Slice 109/155, Brain, 240x240, Image width 240 mm, 1.00 mm slice spacing
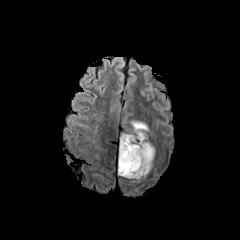
FLAIR MRI.
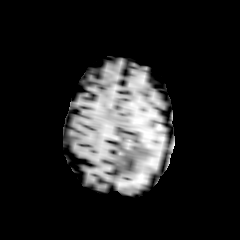
T1-weighted MR.
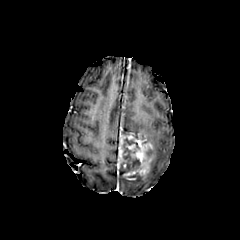
Post-contrast T1-weighted MRI.
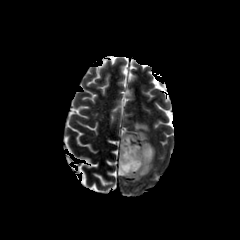
Same slice, T2-weighted MR image.
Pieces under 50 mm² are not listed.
The largest enhancing tumor region is bounded by bbox=[118, 132, 155, 179]. The largest necrotic tumor core region is at bbox=[121, 138, 141, 173]. The largest peritumoral edema region is bounded by bbox=[131, 122, 148, 133].